Head; Image size 240x240
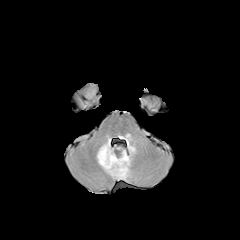
FLAIR MR.
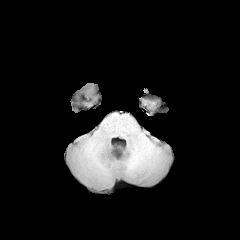
T1-weighted MRI.
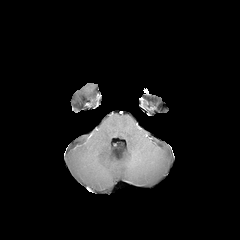
Post-contrast T1-weighted MR.
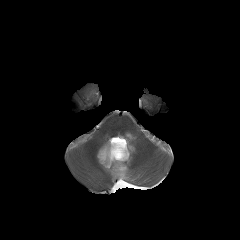
T2-weighted MRI.
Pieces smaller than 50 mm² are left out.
Findings:
• peritumoral edema: (97,134,134,178)